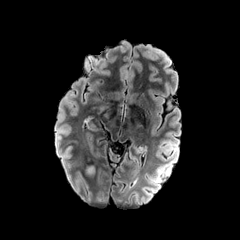
FLAIR MRI.
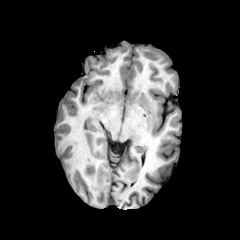
Same slice, T1-weighted MRI.
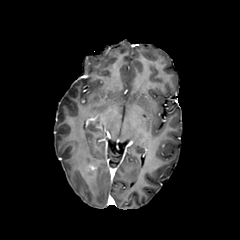
Post-contrast T1-weighted MR of the same slice.
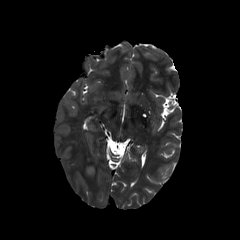
T2-weighted MR of the same slice.
Axial plane, Image size 240x240
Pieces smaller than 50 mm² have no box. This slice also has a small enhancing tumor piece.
peritumoral edema: x1=83, y1=165, x2=97, y2=178